FLAIR MR image.
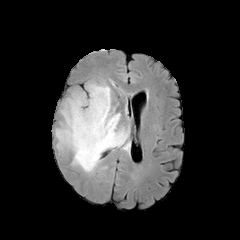
T1-weighted MR.
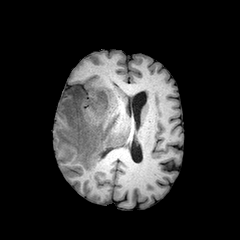
Post-contrast T1-weighted MRI.
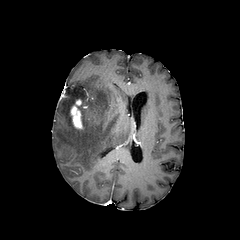
T2-weighted MRI.
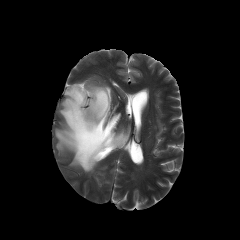
Brain. Axial slice.
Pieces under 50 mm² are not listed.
Annotated regions:
- enhancing tumor: <bbox>70, 99, 82, 128</bbox>
- peritumoral edema: <bbox>55, 81, 129, 172</bbox>